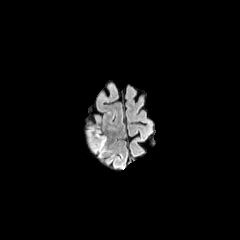
FLAIR MR image.
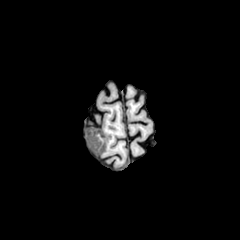
T1-weighted MR.
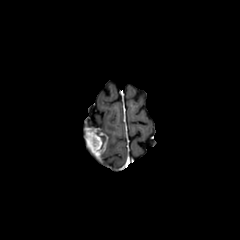
Post-contrast T1-weighted MR image.
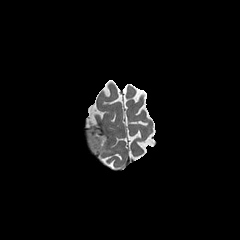
T2-weighted MR.
Axial plane | Brain
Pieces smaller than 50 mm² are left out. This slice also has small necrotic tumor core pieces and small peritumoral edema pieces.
The enhancing tumor is located at [88, 130, 108, 156].